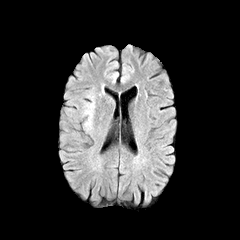
FLAIR magnetic resonance.
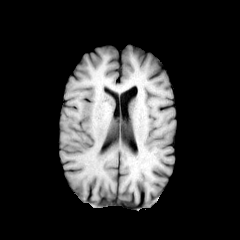
T1-weighted MRI.
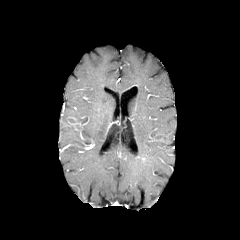
Post-contrast T1-weighted magnetic resonance.
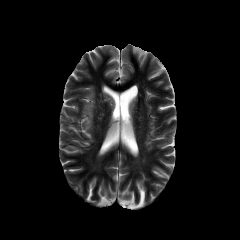
Same slice, T2-weighted MR.
Head.
The peritumoral edema is bounded by 84, 96, 94, 128.